FLAIR MR.
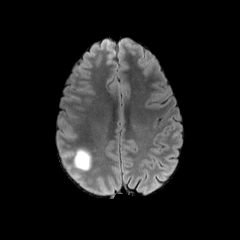
T1-weighted MRI.
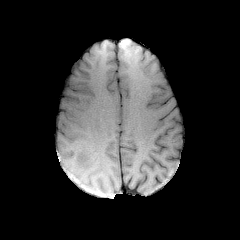
Post-contrast T1-weighted magnetic resonance.
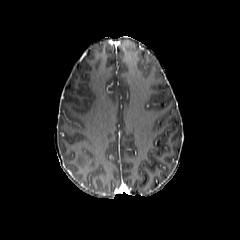
T2-weighted MR image.
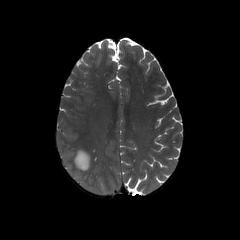
peritumoral_edema:
  - [x1=73, y1=148, x2=91, y2=170]